FLAIR MRI.
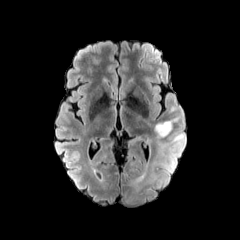
T1-weighted MR image.
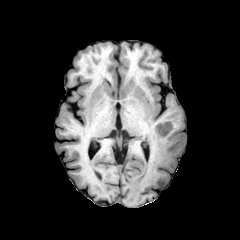
Post-contrast T1-weighted magnetic resonance.
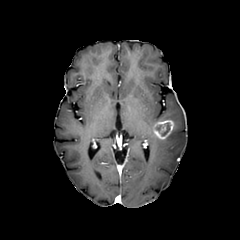
T2-weighted MRI.
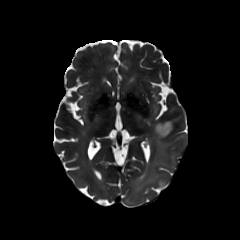
Brain. 240x240 px.
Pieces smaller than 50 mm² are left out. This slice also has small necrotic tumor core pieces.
peritumoral edema: 156 134 183 156 | enhancing tumor: 154 120 174 139